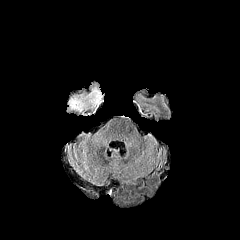
FLAIR MR.
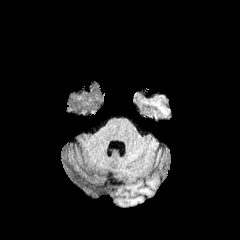
T1-weighted MR image.
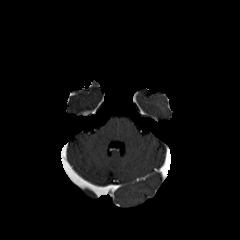
Same slice, post-contrast T1-weighted MR.
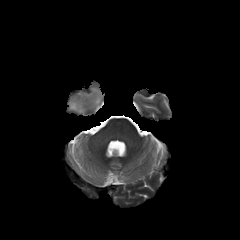
T2-weighted magnetic resonance.
Head. Image size 240x240.
<segmentation>
  <peritumoral_edema>69,87,102,111</peritumoral_edema>
</segmentation>